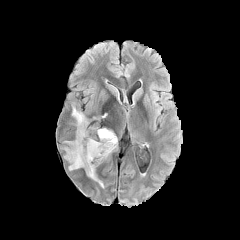
FLAIR MRI.
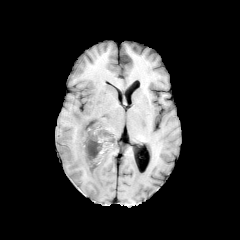
T1-weighted MRI.
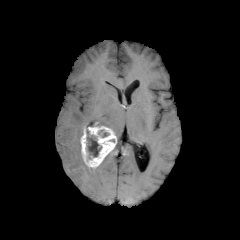
Same slice, post-contrast T1-weighted MRI.
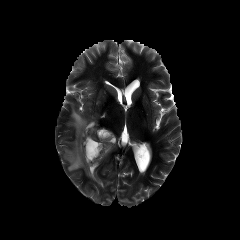
T2-weighted MR image.
240x240 px
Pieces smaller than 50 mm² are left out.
<segmentation>
  <necrotic_tumor_core>x1=87, y1=130, x2=101, y2=158</necrotic_tumor_core>
  <enhancing_tumor>x1=80, y1=122, x2=116, y2=172</enhancing_tumor>
  <peritumoral_edema>x1=64, y1=106, x2=103, y2=186</peritumoral_edema>
</segmentation>